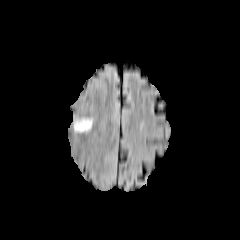
FLAIR MR.
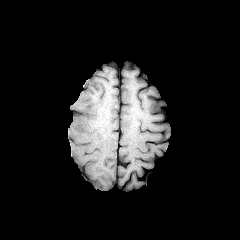
T1-weighted MRI.
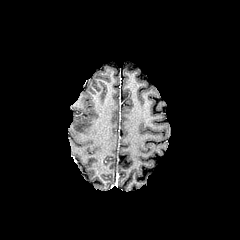
Post-contrast T1-weighted MRI.
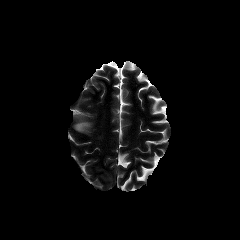
Same slice, T2-weighted magnetic resonance.
The peritumoral edema lies within bbox(74, 118, 91, 131).